Axial slice
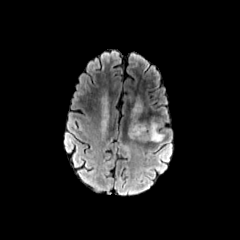
FLAIR MRI.
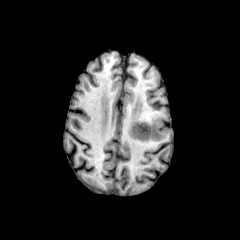
T1-weighted MR image of the same slice.
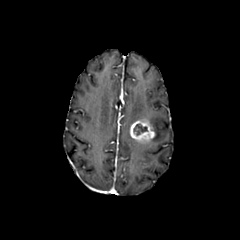
Same slice, post-contrast T1-weighted MR image.
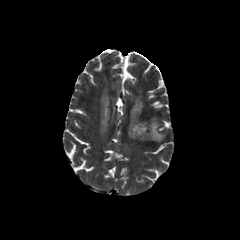
T2-weighted MR.
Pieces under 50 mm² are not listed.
The necrotic tumor core is located at 133, 124, 147, 135. The 2 largest peritumoral edema regions appear at 131, 102, 141, 124; 150, 117, 164, 141. The largest enhancing tumor region is bounded by 130, 118, 155, 143.